Axial slice. 240x240. Brain. Slice 108 of 155.
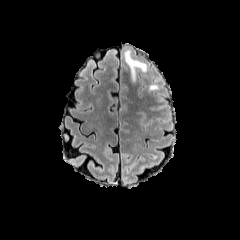
FLAIR MR image.
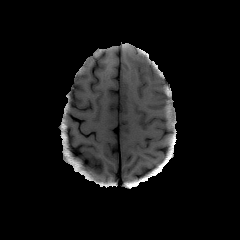
T1-weighted MR image.
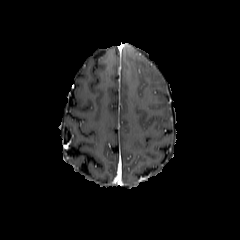
Post-contrast T1-weighted magnetic resonance.
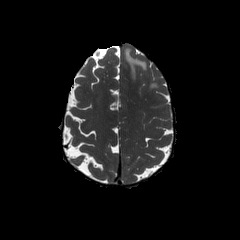
Same slice, T2-weighted MR.
peritumoral_edema:
  - (149, 84, 158, 90)
  - (125, 49, 146, 81)